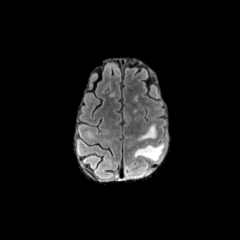
FLAIR MR image.
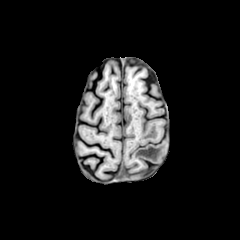
Same slice, T1-weighted MR image.
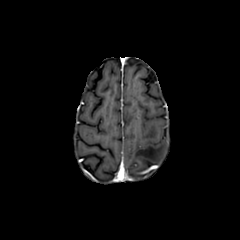
Post-contrast T1-weighted magnetic resonance.
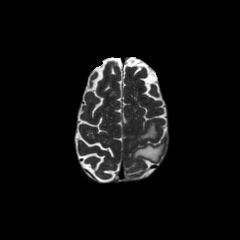
T2-weighted MRI.
Head; Axial slice
Findings:
- peritumoral edema: <bbox>138, 124, 156, 140</bbox>, <bbox>134, 143, 164, 161</bbox>